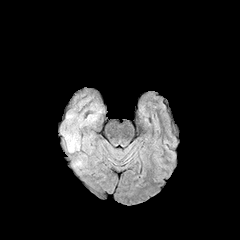
FLAIR magnetic resonance.
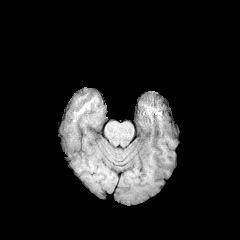
T1-weighted MR.
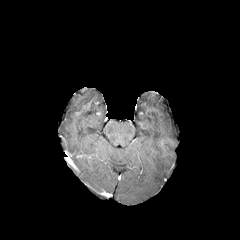
Post-contrast T1-weighted MR image of the same slice.
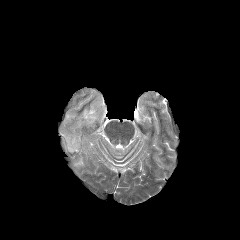
Same slice, T2-weighted magnetic resonance.
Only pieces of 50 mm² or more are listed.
Findings:
* peritumoral edema: bbox=[61, 126, 80, 152]; bbox=[78, 115, 95, 126]